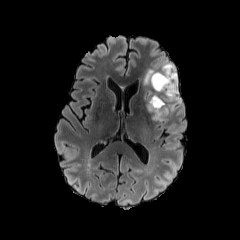
FLAIR magnetic resonance.
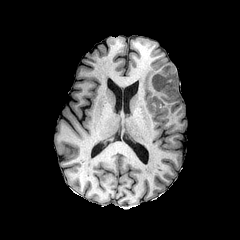
Same slice, T1-weighted magnetic resonance.
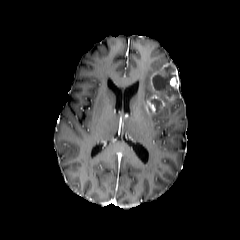
Post-contrast T1-weighted MR image.
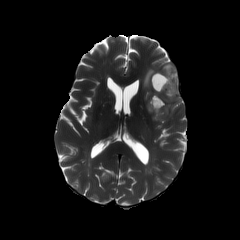
T2-weighted magnetic resonance.
Brain. Axial slice.
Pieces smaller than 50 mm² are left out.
enhancing_tumor:
  - left=146, top=63, right=179, bottom=114
necrotic_tumor_core:
  - left=151, top=98, right=161, bottom=109
  - left=152, top=65, right=176, bottom=97
peritumoral_edema:
  - left=143, top=68, right=159, bottom=101
  - left=151, top=94, right=181, bottom=120